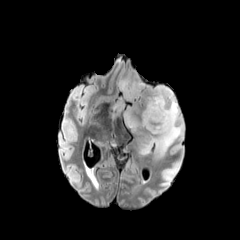
FLAIR MR.
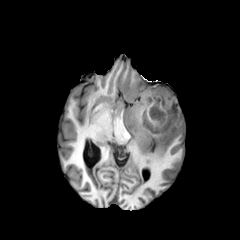
T1-weighted MR image.
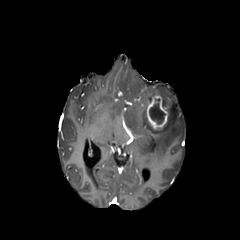
Same slice, post-contrast T1-weighted MRI.
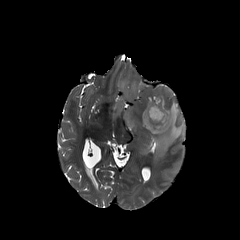
T2-weighted MRI.
Head; Image size 240x240
The peritumoral edema is at x1=113 y1=79 x2=184 y2=156. The enhancing tumor is located at x1=146 y1=94 x2=168 y2=129. The necrotic tumor core is located at x1=149 y1=99 x2=165 y2=124.